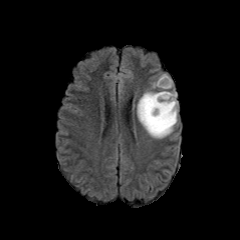
FLAIR MR image.
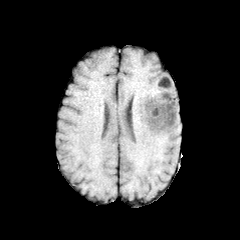
Same slice, T1-weighted MR.
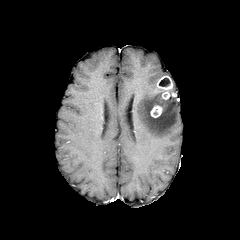
Post-contrast T1-weighted MRI.
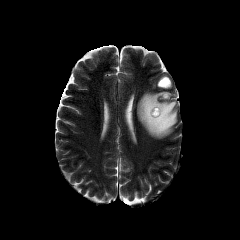
T2-weighted MR image.
Axial plane
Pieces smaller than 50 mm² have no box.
necrotic tumor core: region(159, 78, 170, 86) | peritumoral edema: region(137, 90, 177, 138) | enhancing tumor: region(150, 105, 162, 117); region(157, 76, 176, 99)